Brain | Axial view | Image width 240 mm
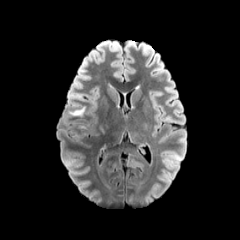
FLAIR magnetic resonance.
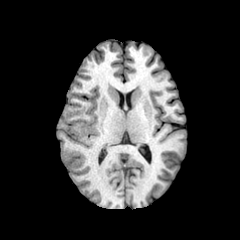
T1-weighted MR.
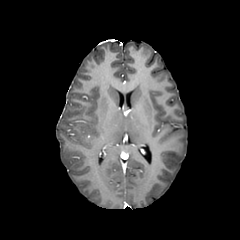
Post-contrast T1-weighted MR image of the same slice.
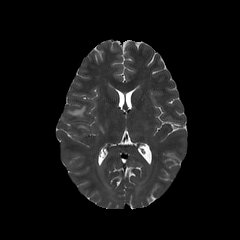
T2-weighted MR image.
The peritumoral edema lies within [67,107,85,116].